FLAIR magnetic resonance.
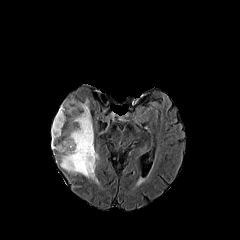
T1-weighted MR.
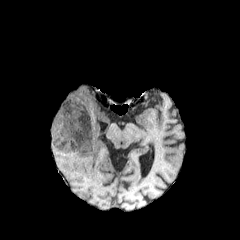
Post-contrast T1-weighted MR image.
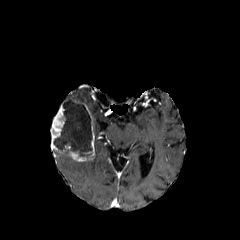
T2-weighted MR image.
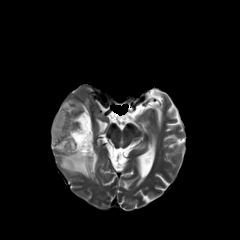
240x240 px | Brain | Axial slice
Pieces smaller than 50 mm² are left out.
* peritumoral edema: 60,153,98,182
* necrotic tumor core: 53,98,92,157
* enhancing tumor: 50,104,70,154; 68,122,94,161